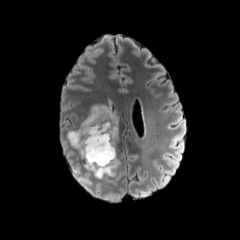
FLAIR MR image.
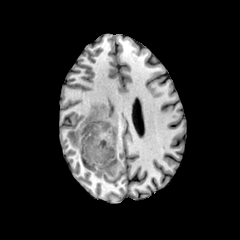
Same slice, T1-weighted MRI.
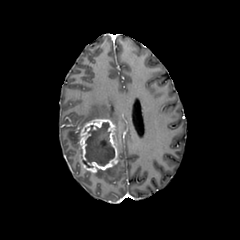
Same slice, post-contrast T1-weighted MR image.
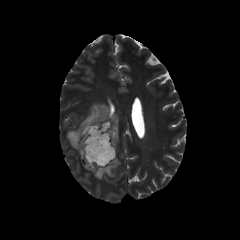
Same slice, T2-weighted MRI.
Image size 240x240
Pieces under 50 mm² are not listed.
<segmentation>
  <necrotic_tumor_core>left=85, top=122, right=114, bottom=167</necrotic_tumor_core>
  <enhancing_tumor>left=78, top=118, right=118, bottom=172</enhancing_tumor>
  <peritumoral_edema>left=67, top=104, right=118, bottom=153; left=93, top=161, right=120, bottom=179</peritumoral_edema>
</segmentation>